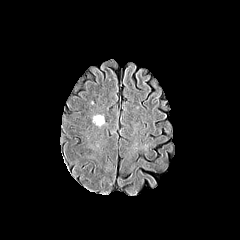
FLAIR MRI.
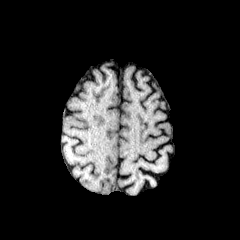
T1-weighted MR image.
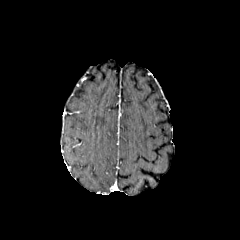
Post-contrast T1-weighted MR.
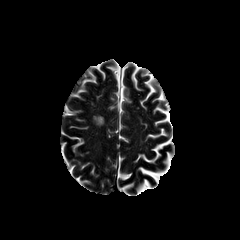
T2-weighted magnetic resonance.
240x240 px. Head. Axial plane.
The peritumoral edema is bounded by {"x1": 95, "y1": 116, "x2": 103, "y2": 124}.